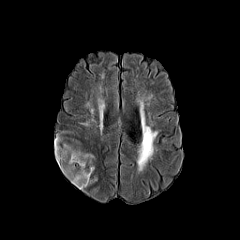
FLAIR MR.
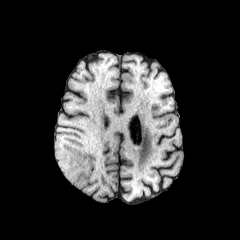
T1-weighted magnetic resonance.
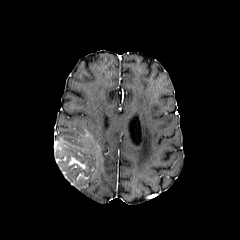
Post-contrast T1-weighted MR image.
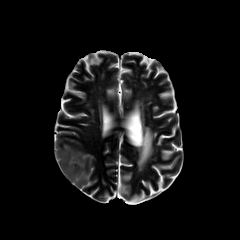
T2-weighted MR image.
Brain; 240x240 px
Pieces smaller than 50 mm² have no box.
<segmentation>
  <enhancing_tumor>(left=69, top=157, right=85, bottom=169)</enhancing_tumor>
  <peritumoral_edema>(left=55, top=129, right=95, bottom=189)</peritumoral_edema>
</segmentation>